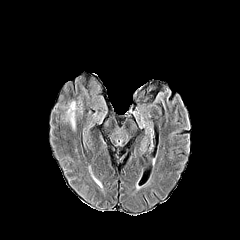
FLAIR magnetic resonance.
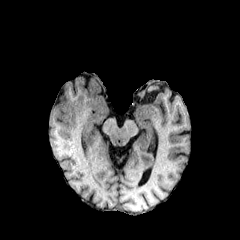
Same slice, T1-weighted MR image.
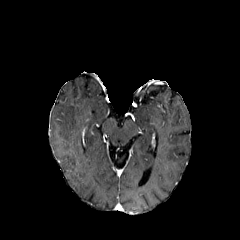
Same slice, post-contrast T1-weighted MR.
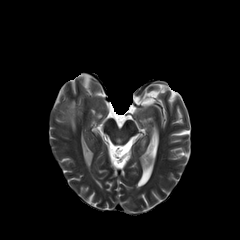
Same slice, T2-weighted MR image.
Axial slice. Head.
peritumoral edema = bbox(66, 101, 76, 130)